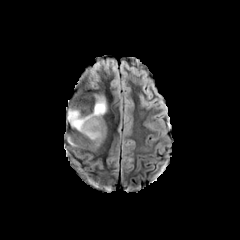
FLAIR MR image.
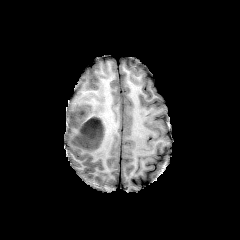
T1-weighted MR image.
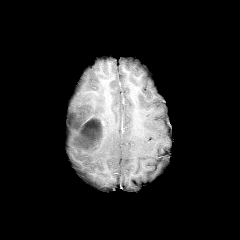
Post-contrast T1-weighted MR.
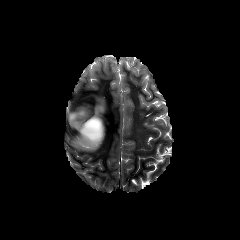
T2-weighted MRI of the same slice.
Axial plane | Brain | Image size 240x240
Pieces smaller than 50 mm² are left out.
Findings:
- enhancing tumor: (75,116,105,150)
- necrotic tumor core: (81,118,101,140)
- peritumoral edema: (66,136,81,148), (67,96,106,131)